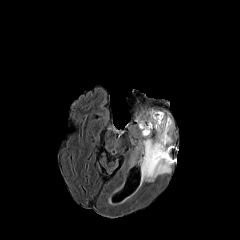
FLAIR magnetic resonance.
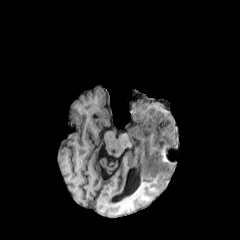
T1-weighted MRI.
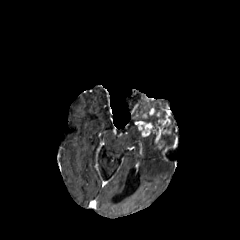
Post-contrast T1-weighted MRI of the same slice.
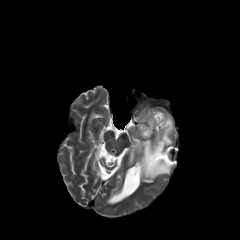
T2-weighted MRI of the same slice.
240x240
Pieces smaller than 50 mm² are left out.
{
  "enhancing_tumor": [
    {"x1": 137, "y1": 108, "x2": 171, "y2": 148}
  ],
  "peritumoral_edema": [
    {"x1": 140, "y1": 116, "x2": 173, "y2": 183}
  ],
  "necrotic_tumor_core": [
    {"x1": 146, "y1": 114, "x2": 163, "y2": 127}
  ]
}